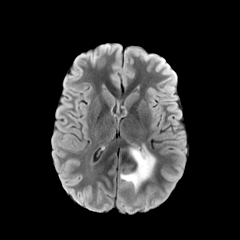
FLAIR MR image.
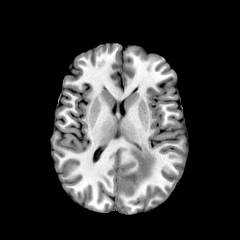
T1-weighted MRI of the same slice.
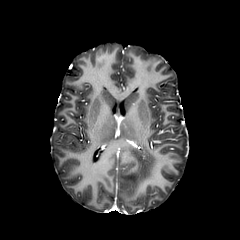
Post-contrast T1-weighted MRI of the same slice.
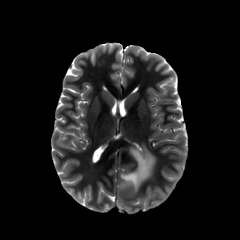
T2-weighted magnetic resonance of the same slice.
Axial slice
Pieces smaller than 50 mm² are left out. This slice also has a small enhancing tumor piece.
necrotic tumor core: left=124, top=161, right=135, bottom=169 | peritumoral edema: left=120, top=145, right=155, bottom=191